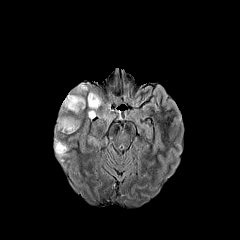
FLAIR MR image.
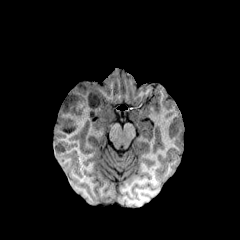
T1-weighted MR.
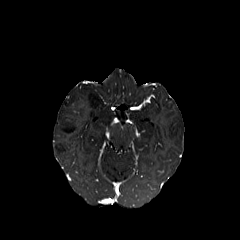
Same slice, post-contrast T1-weighted MR image.
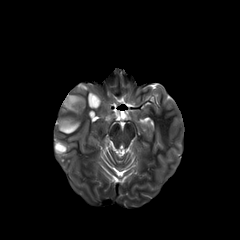
T2-weighted MR of the same slice.
Axial slice
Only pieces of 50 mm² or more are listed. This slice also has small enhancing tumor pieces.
peritumoral edema: [68, 95, 85, 109], [76, 84, 88, 92], [88, 92, 101, 118], [100, 113, 112, 123], [58, 118, 79, 132], [55, 143, 66, 156] | necrotic tumor core: [68, 98, 82, 114]